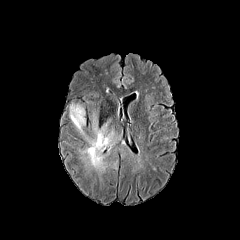
FLAIR MR.
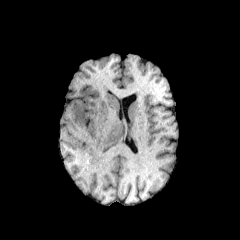
T1-weighted MRI.
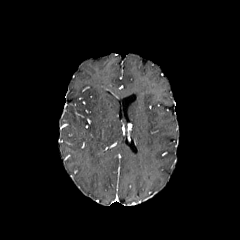
Post-contrast T1-weighted magnetic resonance.
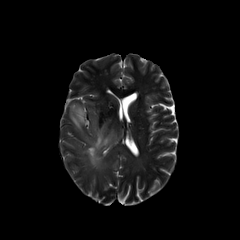
T2-weighted magnetic resonance.
240x240 px, Axial view
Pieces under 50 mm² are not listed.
peritumoral edema — 76,104,84,115; 70,104,85,135; 80,113,118,172